Axial plane | Brain | Image size 240x240
FLAIR MR.
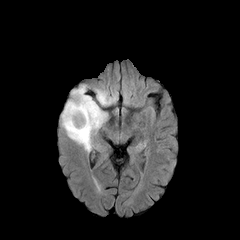
T1-weighted MRI.
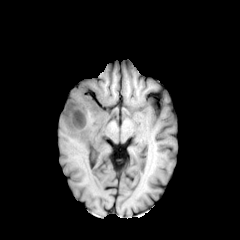
Post-contrast T1-weighted MR.
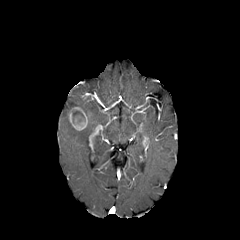
T2-weighted MRI.
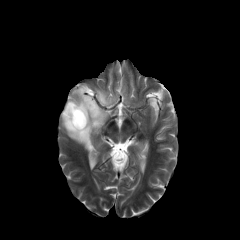
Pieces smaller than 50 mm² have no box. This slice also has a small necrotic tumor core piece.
{
  "peritumoral_edema": [
    "[x1=94, y1=88, x2=117, y2=105]",
    "[x1=61, y1=84, x2=108, y2=152]"
  ],
  "enhancing_tumor": [
    "[x1=68, y1=107, x2=87, y2=130]"
  ]
}